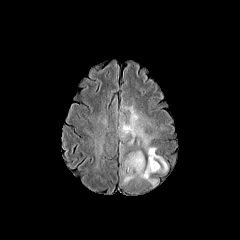
FLAIR magnetic resonance.
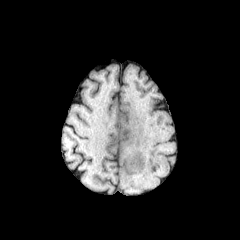
T1-weighted MR.
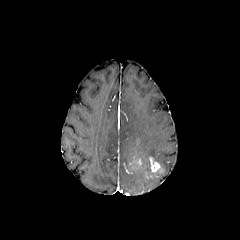
Same slice, post-contrast T1-weighted MRI.
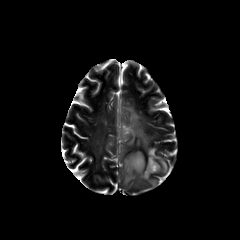
T2-weighted MRI.
Brain | Axial slice | 240x240
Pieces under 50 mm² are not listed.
enhancing tumor = [127,155,142,171], [149,157,160,172]
peritumoral edema = [117,97,170,185], [97,112,108,127], [89,131,105,157]